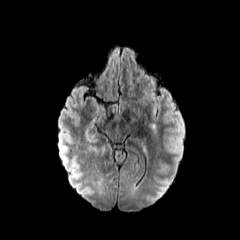
FLAIR MR image.
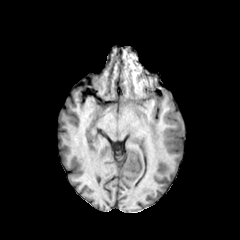
T1-weighted MRI.
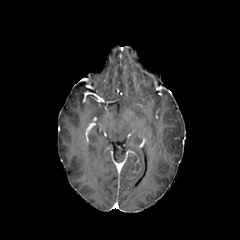
Same slice, post-contrast T1-weighted MR image.
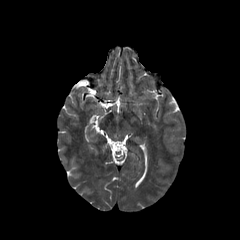
T2-weighted MR.
Brain
<segmentation>
  <peritumoral_edema>bbox=[149, 124, 157, 139]</peritumoral_edema>
</segmentation>